FLAIR MRI.
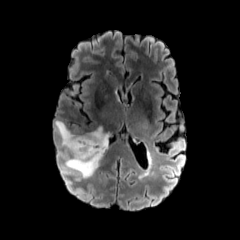
T1-weighted MR image.
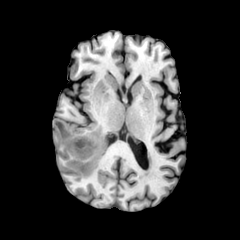
Post-contrast T1-weighted MR.
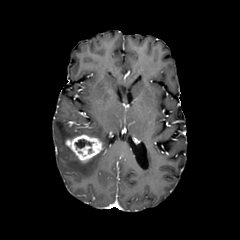
T2-weighted MRI.
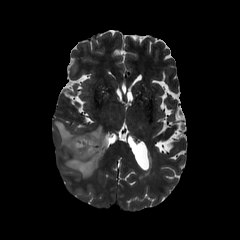
Axial plane | Head
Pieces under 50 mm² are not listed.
The largest necrotic tumor core region is at <bbox>75, 139, 92, 148</bbox>. The enhancing tumor lies within <bbox>66, 135, 102, 161</bbox>. The peritumoral edema is bounded by <bbox>55, 120, 108, 177</bbox>.